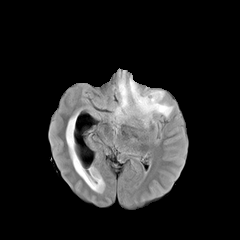
FLAIR magnetic resonance.
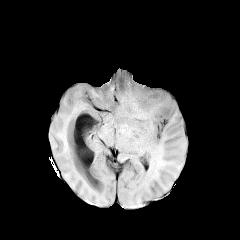
T1-weighted MR image of the same slice.
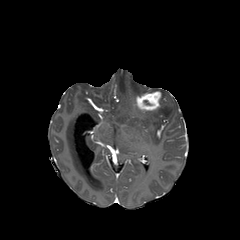
Post-contrast T1-weighted MR.
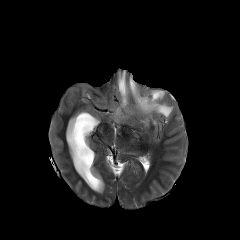
T2-weighted MR image.
Brain.
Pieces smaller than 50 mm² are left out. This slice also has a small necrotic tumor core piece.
The largest peritumoral edema region lies within (115,71,173,125). The enhancing tumor is at (136,91,161,111).